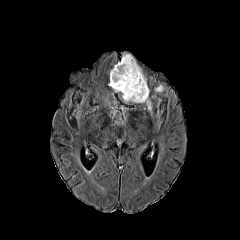
FLAIR magnetic resonance.
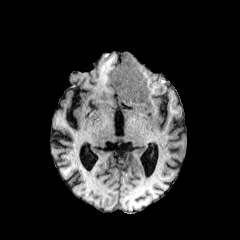
Same slice, T1-weighted MRI.
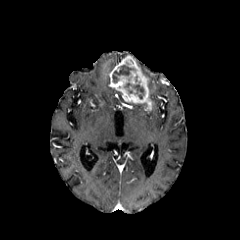
Post-contrast T1-weighted magnetic resonance.
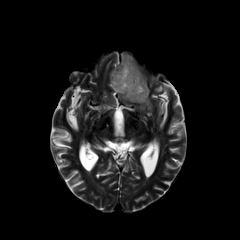
T2-weighted magnetic resonance.
Axial view
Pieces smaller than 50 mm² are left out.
peritumoral edema at (left=155, top=85, right=164, bottom=91)
necrotic tumor core at (left=133, top=84, right=143, bottom=98), (left=112, top=65, right=133, bottom=82)
enhancing tumor at (left=109, top=54, right=152, bottom=110)